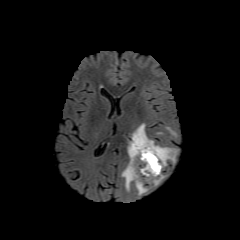
FLAIR MR.
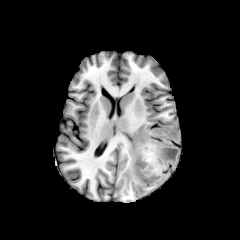
Same slice, T1-weighted MRI.
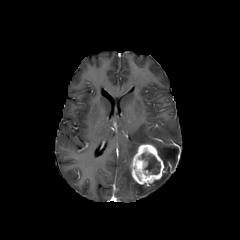
Same slice, post-contrast T1-weighted magnetic resonance.
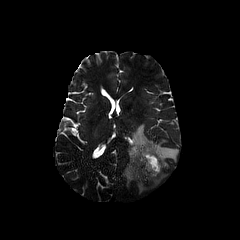
T2-weighted magnetic resonance.
Image size 240x240.
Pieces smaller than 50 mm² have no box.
{"enhancing_tumor": ["130:144:164:187"], "necrotic_tumor_core": ["140:153:160:174"], "peritumoral_edema": ["121:123:177:194", "166:127:176:137", "154:174:165:186"]}